Axial slice
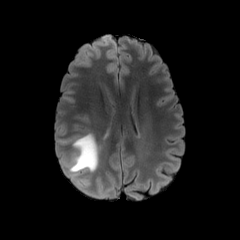
FLAIR MR.
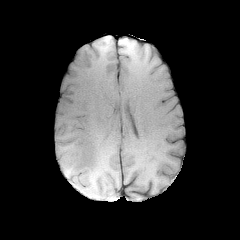
T1-weighted magnetic resonance.
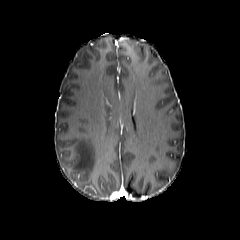
Post-contrast T1-weighted MR image.
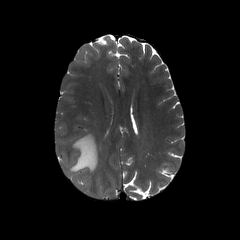
Same slice, T2-weighted MR.
<segmentation>
  <peritumoral_edema>left=67, top=133, right=99, bottom=174</peritumoral_edema>
</segmentation>